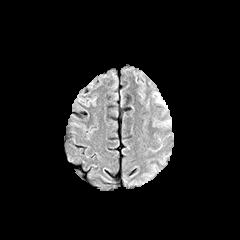
FLAIR magnetic resonance.
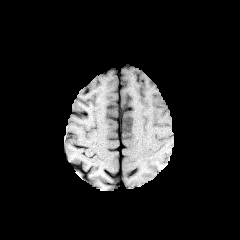
T1-weighted magnetic resonance.
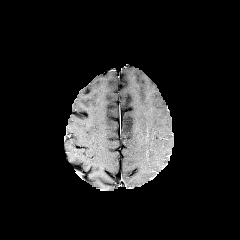
Post-contrast T1-weighted MR.
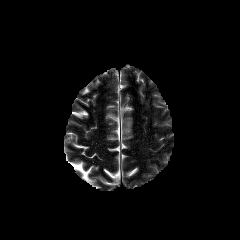
Same slice, T2-weighted MR image.
Brain.
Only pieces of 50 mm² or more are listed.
peritumoral_edema:
  - <bbox>152, 114, 171, 129</bbox>
  - <bbox>151, 90, 168, 114</bbox>